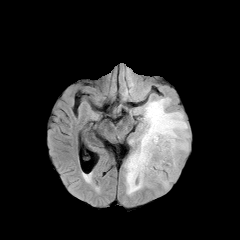
FLAIR MR image.
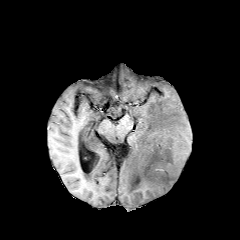
Same slice, T1-weighted MR.
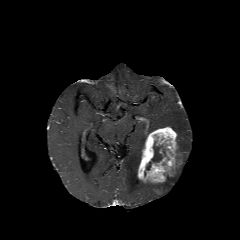
Post-contrast T1-weighted MR.
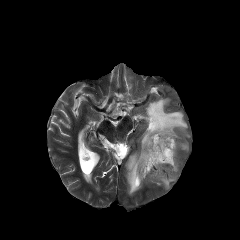
T2-weighted MR image of the same slice.
Axial view. Brain.
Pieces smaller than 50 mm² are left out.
<segmentation>
  <enhancing_tumor><bbox>137, 126, 181, 183</bbox></enhancing_tumor>
  <peritumoral_edema><bbox>156, 167, 178, 189</bbox>, <bbox>124, 97, 189, 195</bbox></peritumoral_edema>
  <necrotic_tumor_core><bbox>152, 142, 162, 161</bbox></necrotic_tumor_core>
</segmentation>